FLAIR MRI.
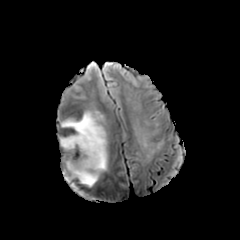
T1-weighted MR image.
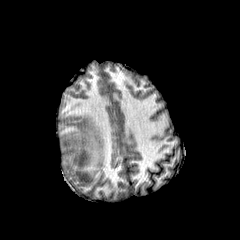
Post-contrast T1-weighted MRI.
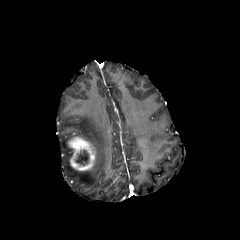
T2-weighted MRI.
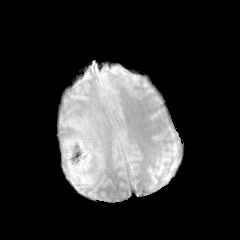
Axial plane | Brain
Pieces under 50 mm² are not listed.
The largest enhancing tumor region is bounded by 67 136 96 171. The peritumoral edema is bounded by 60 110 107 187. 2 necrotic tumor core regions appear at 67 147 73 158, 76 150 88 164.